FLAIR MRI.
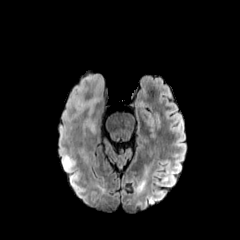
T1-weighted MR.
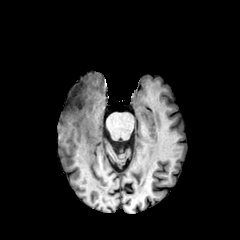
Post-contrast T1-weighted magnetic resonance.
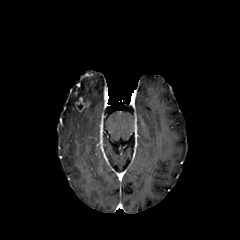
T2-weighted magnetic resonance.
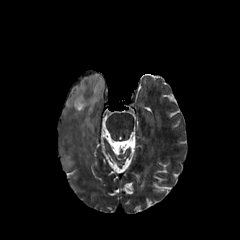
Brain | 240x240
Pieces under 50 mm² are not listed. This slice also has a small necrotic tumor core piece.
enhancing tumor: rect(71, 82, 80, 96); rect(74, 96, 91, 111)
peritumoral edema: rect(64, 157, 73, 169); rect(84, 118, 94, 132); rect(63, 73, 104, 120)